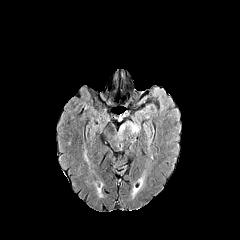
FLAIR MRI.
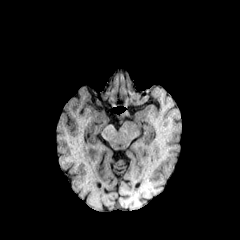
T1-weighted magnetic resonance of the same slice.
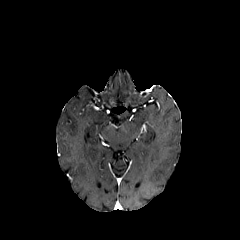
Post-contrast T1-weighted MRI.
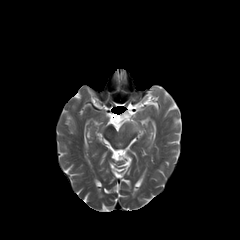
T2-weighted MR image.
Brain.
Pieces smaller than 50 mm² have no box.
<segmentation>
  <peritumoral_edema>[118,120,138,133]</peritumoral_edema>
</segmentation>